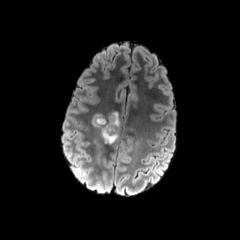
FLAIR magnetic resonance.
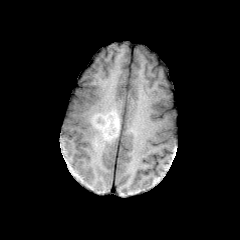
T1-weighted MRI.
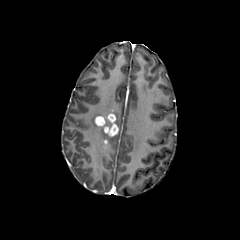
Post-contrast T1-weighted MRI of the same slice.
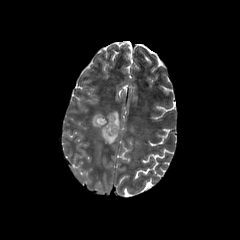
Same slice, T2-weighted MR image.
Head
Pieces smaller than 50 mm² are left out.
enhancing tumor: <bbox>95, 113, 118, 136</bbox>
peritumoral edema: <bbox>92, 112, 119, 143</bbox>, <bbox>94, 140, 101, 164</bbox>, <bbox>134, 142, 142, 150</bbox>